FLAIR MR.
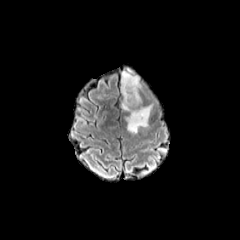
T1-weighted MR image.
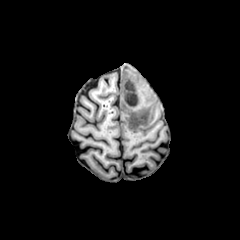
Post-contrast T1-weighted MRI.
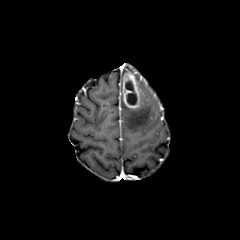
T2-weighted MRI.
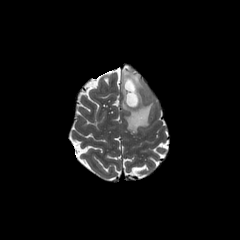
Image size 240x240; Brain
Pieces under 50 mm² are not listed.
peritumoral edema: region(135, 74, 144, 91); region(121, 101, 153, 133) | necrotic tumor core: region(125, 81, 136, 104) | enhancing tumor: region(122, 70, 140, 108)